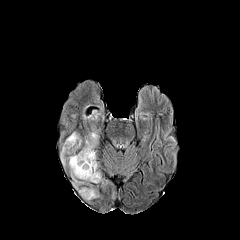
FLAIR MRI.
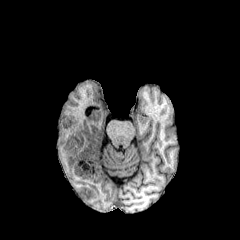
T1-weighted MRI.
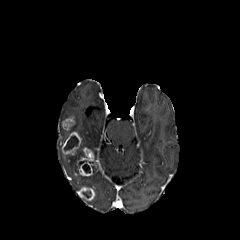
Same slice, post-contrast T1-weighted magnetic resonance.
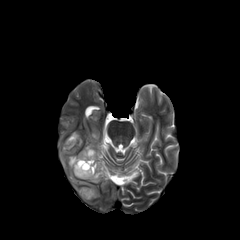
T2-weighted MR image.
Axial view. 240x240 px.
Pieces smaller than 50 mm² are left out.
enhancing tumor = bbox=[62, 116, 74, 129]; bbox=[62, 132, 81, 154]; bbox=[78, 187, 95, 200]; bbox=[77, 147, 99, 176]
necrotic tumor core = bbox=[64, 136, 78, 150]; bbox=[82, 164, 90, 173]
peritumoral edema = bbox=[86, 132, 98, 149]; bbox=[68, 150, 101, 183]; bbox=[87, 109, 99, 119]